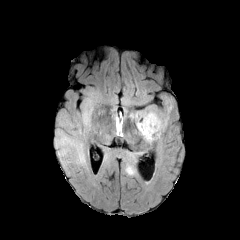
FLAIR MR image.
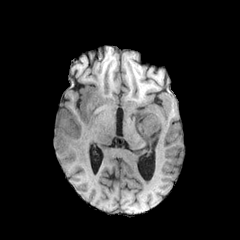
T1-weighted MR of the same slice.
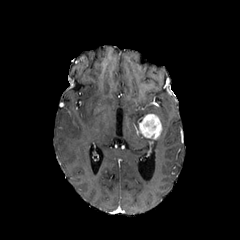
Same slice, post-contrast T1-weighted magnetic resonance.
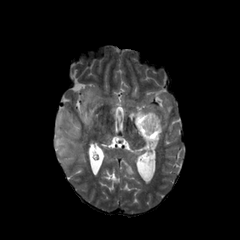
T2-weighted MR image.
Head, Axial slice
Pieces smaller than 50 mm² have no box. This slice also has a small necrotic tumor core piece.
The 5 largest peritumoral edema regions are bounded by 80, 98, 92, 136; 125, 163, 135, 175; 132, 106, 168, 131; 143, 137, 160, 142; 55, 111, 86, 167. The largest enhancing tumor region is bounded by 137, 114, 162, 139.